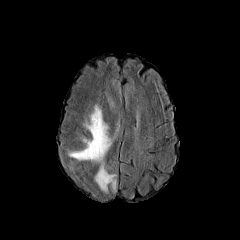
FLAIR MR.
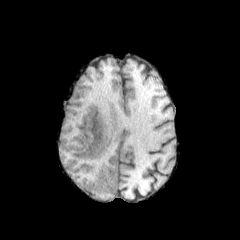
Same slice, T1-weighted MR image.
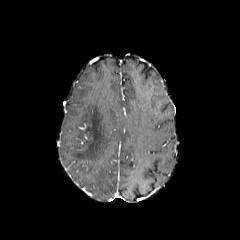
Post-contrast T1-weighted MR image.
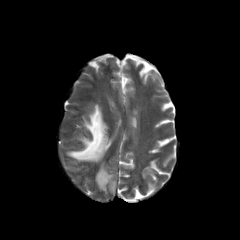
T2-weighted magnetic resonance of the same slice.
Axial slice.
peritumoral edema: bounding box bbox=[67, 104, 120, 193]